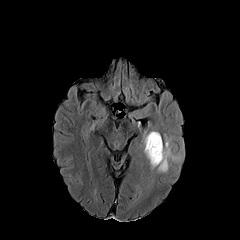
FLAIR MRI.
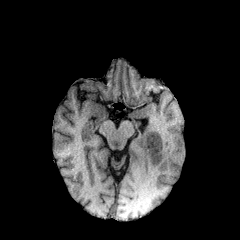
T1-weighted MRI.
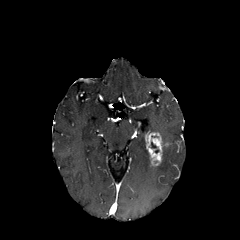
Post-contrast T1-weighted MR.
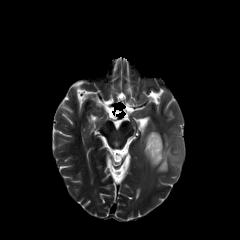
T2-weighted magnetic resonance of the same slice.
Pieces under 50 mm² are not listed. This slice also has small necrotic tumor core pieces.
Annotated regions:
• enhancing tumor: 145, 132, 163, 166
• peritumoral edema: 156, 134, 182, 172